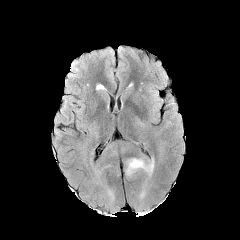
FLAIR MR image.
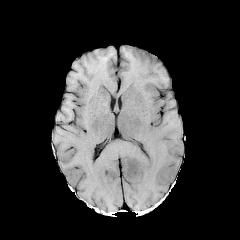
T1-weighted MR of the same slice.
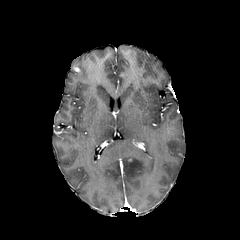
Post-contrast T1-weighted MRI of the same slice.
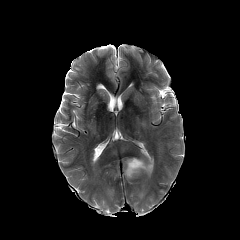
Same slice, T2-weighted MR.
Axial plane | Brain | 240x240
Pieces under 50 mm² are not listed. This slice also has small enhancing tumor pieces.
The peritumoral edema is bounded by [x1=125, y1=158, x2=154, y2=177].